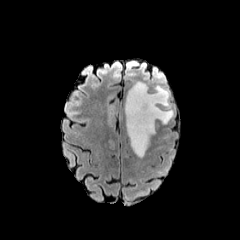
FLAIR magnetic resonance.
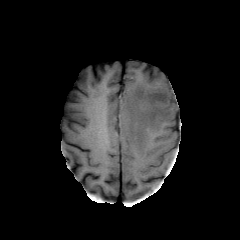
Same slice, T1-weighted MR.
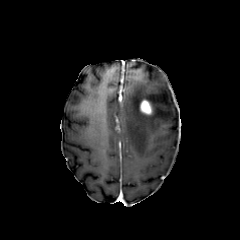
Post-contrast T1-weighted MR image of the same slice.
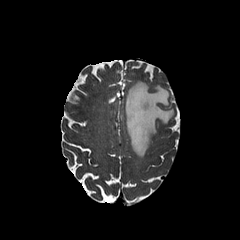
T2-weighted MR.
240x240
<segmentation>
  <peritumoral_edema>x1=125 y1=81 x2=173 y2=157</peritumoral_edema>
  <enhancing_tumor>x1=140 y1=99 x2=152 y2=114</enhancing_tumor>
</segmentation>